FLAIR magnetic resonance.
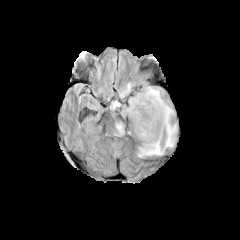
T1-weighted magnetic resonance.
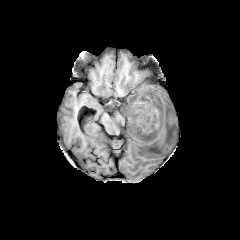
Post-contrast T1-weighted MRI.
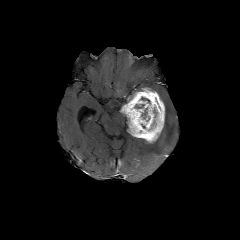
T2-weighted MRI.
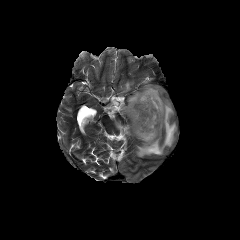
Head
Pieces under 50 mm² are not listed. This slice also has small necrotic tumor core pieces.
peritumoral_edema:
  - box=[137, 86, 176, 157]
  - box=[116, 122, 124, 133]
  - box=[111, 101, 121, 109]
  - box=[120, 82, 132, 96]
enhancing_tumor:
  - box=[120, 87, 165, 142]